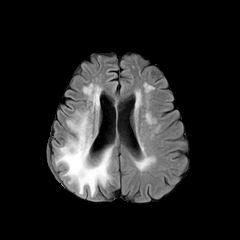
FLAIR magnetic resonance.
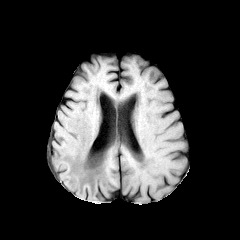
T1-weighted MRI.
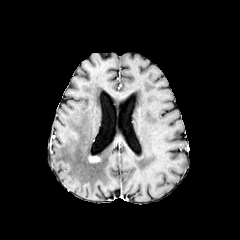
Post-contrast T1-weighted MR image.
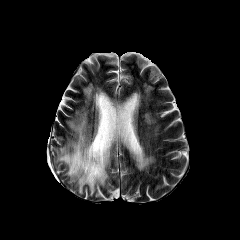
Same slice, T2-weighted magnetic resonance.
Axial view | Brain | 240x240
The peritumoral edema appears at rect(55, 83, 112, 195). The enhancing tumor is located at rect(88, 155, 100, 162).